Axial view. Image width 240 mm. Head.
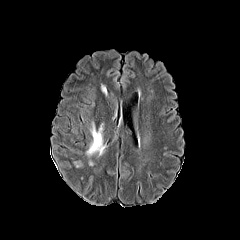
FLAIR MRI.
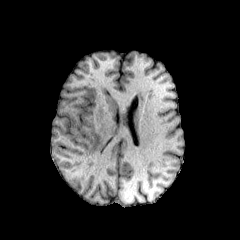
Same slice, T1-weighted MR.
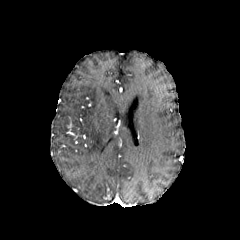
Post-contrast T1-weighted MRI of the same slice.
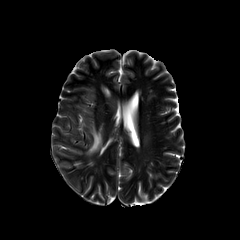
T2-weighted MR.
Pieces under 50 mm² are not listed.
{
  "peritumoral_edema": [
    "(x1=86, y1=121, x2=105, y2=156)"
  ]
}